FLAIR MR.
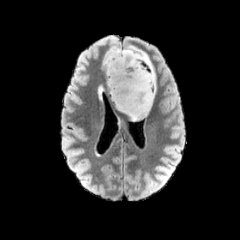
T1-weighted magnetic resonance.
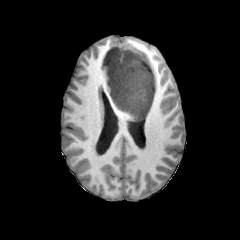
Post-contrast T1-weighted MR.
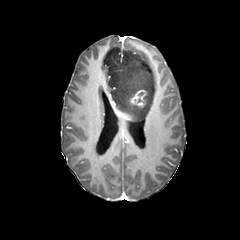
T2-weighted magnetic resonance.
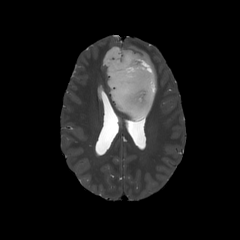
Axial view | Head
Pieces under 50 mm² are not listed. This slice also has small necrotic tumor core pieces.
The enhancing tumor lies within (x1=128, y1=90, x2=146, y2=108). The peritumoral edema is located at (x1=103, y1=45, x2=156, y2=120).